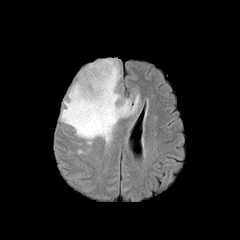
FLAIR MR image.
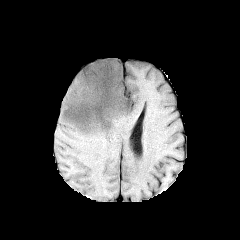
Same slice, T1-weighted magnetic resonance.
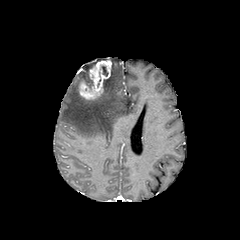
Post-contrast T1-weighted MR image of the same slice.
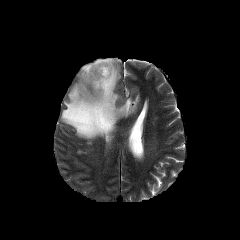
T2-weighted magnetic resonance of the same slice.
Axial view.
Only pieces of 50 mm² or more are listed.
• necrotic tumor core: region(83, 69, 93, 88)
• peritumoral edema: region(60, 58, 139, 143)
• enhancing tumor: region(78, 60, 111, 99)